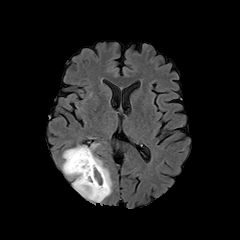
FLAIR MRI.
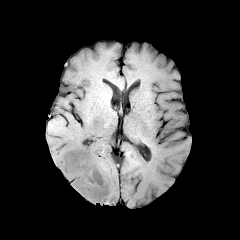
Same slice, T1-weighted MR image.
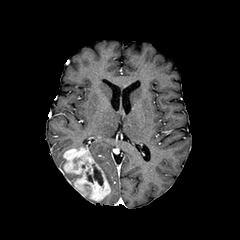
Post-contrast T1-weighted MR image.
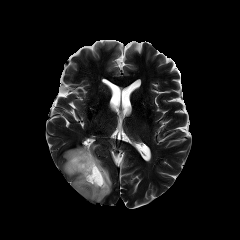
Same slice, T2-weighted MRI.
Brain
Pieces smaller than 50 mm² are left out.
enhancing tumor: [63, 147, 110, 201] | necrotic tumor core: [86, 164, 103, 185] | peritumoral edema: [62, 159, 81, 180], [88, 143, 112, 192]